FLAIR MR image.
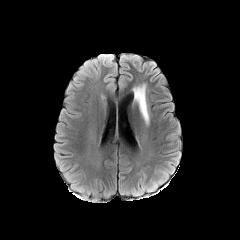
T1-weighted MRI.
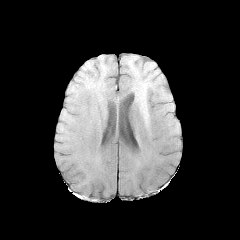
Post-contrast T1-weighted MRI.
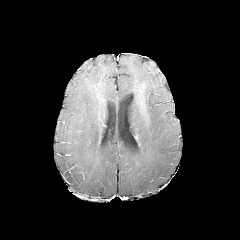
T2-weighted MR image.
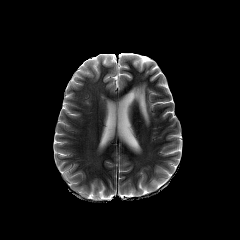
Axial slice
peritumoral edema at (133, 84, 149, 124)